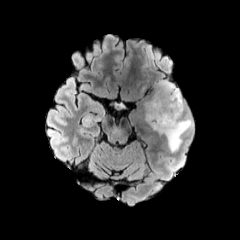
FLAIR MRI.
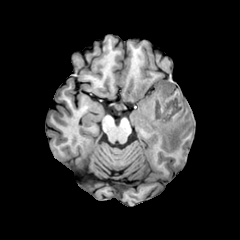
T1-weighted MRI.
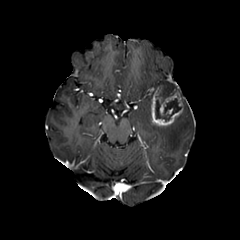
Post-contrast T1-weighted MRI.
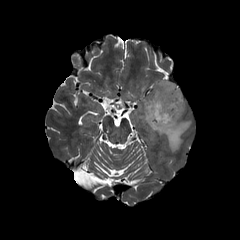
T2-weighted MR.
Image size 240x240
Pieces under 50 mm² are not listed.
• necrotic tumor core: box(155, 98, 181, 121)
• enhancing tumor: box(151, 86, 183, 126)
• peritumoral edema: box(152, 114, 192, 152); box(145, 101, 151, 123); box(158, 80, 180, 95)